FLAIR MRI.
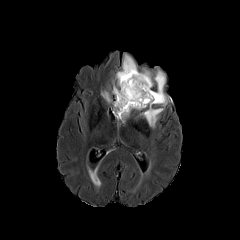
T1-weighted MRI.
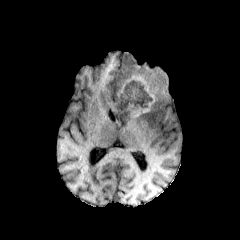
Post-contrast T1-weighted MR.
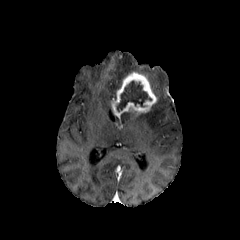
T2-weighted MRI.
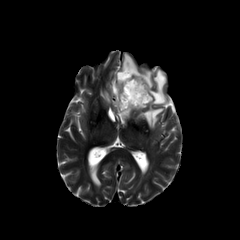
Head
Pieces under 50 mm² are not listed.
The necrotic tumor core appears at 117 81 151 111. The enhancing tumor appears at 111 71 157 118. The 5 largest peritumoral edema regions are located at 139 69 153 87, 101 91 110 103, 121 112 130 122, 139 70 169 128, 112 53 138 98.